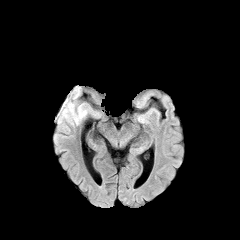
FLAIR magnetic resonance.
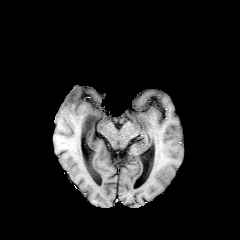
T1-weighted MRI.
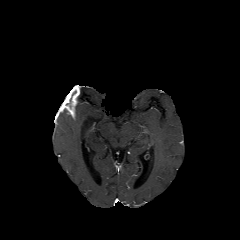
Same slice, post-contrast T1-weighted magnetic resonance.
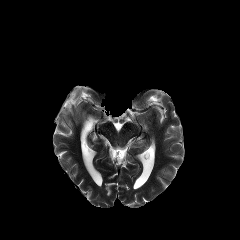
T2-weighted MRI of the same slice.
Axial slice | 240x240
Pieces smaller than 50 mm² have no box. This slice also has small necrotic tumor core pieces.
The largest peritumoral edema region is bounded by {"x1": 57, "y1": 103, "x2": 89, "y2": 128}. The enhancing tumor is at {"x1": 55, "y1": 85, "x2": 80, "y2": 120}.